FLAIR MR.
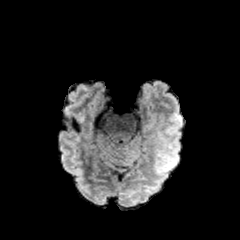
T1-weighted magnetic resonance.
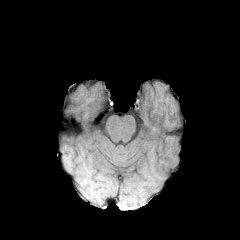
Post-contrast T1-weighted MR.
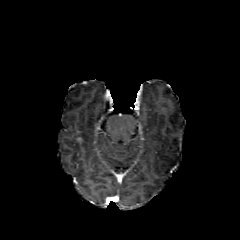
T2-weighted MR image.
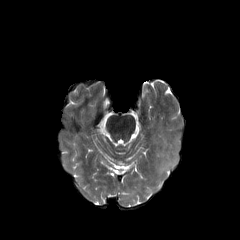
Brain
peritumoral_edema:
  - (x1=157, y1=128, x2=180, y2=174)